FLAIR magnetic resonance.
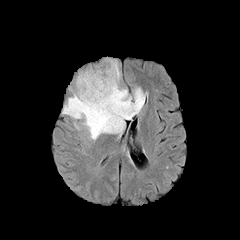
T1-weighted MR image.
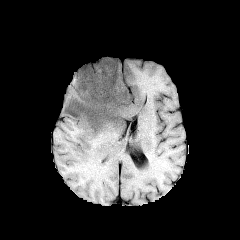
Post-contrast T1-weighted MR.
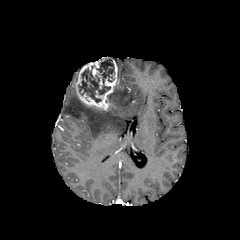
T2-weighted MR.
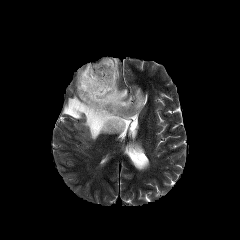
Axial plane; Brain
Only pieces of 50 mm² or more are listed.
enhancing tumor = [75,57,118,110]
necrotic tumor core = [96,58,114,83], [78,68,110,102]
peritumoral edema = [62,86,145,140]